FLAIR MRI.
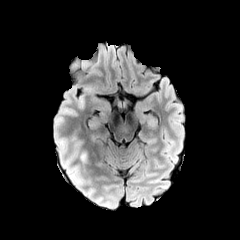
T1-weighted MR image.
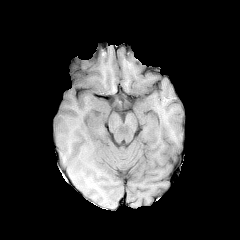
Post-contrast T1-weighted MR.
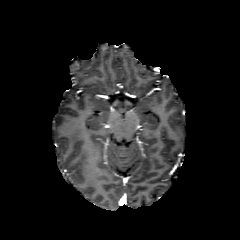
T2-weighted MRI.
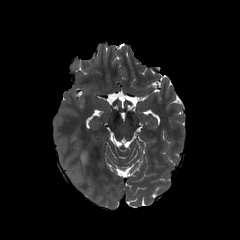
Head; Axial plane; Image size 240x240
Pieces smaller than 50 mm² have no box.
peritumoral_edema:
  - {"x1": 80, "y1": 152, "x2": 86, "y2": 164}